Slice 76 of 155.
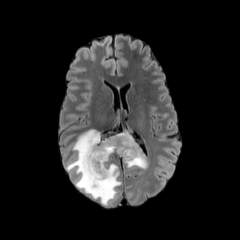
FLAIR magnetic resonance.
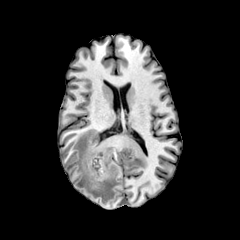
T1-weighted magnetic resonance.
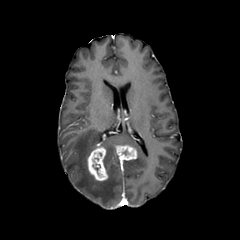
Post-contrast T1-weighted magnetic resonance of the same slice.
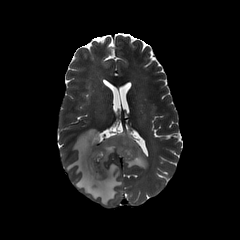
T2-weighted MRI.
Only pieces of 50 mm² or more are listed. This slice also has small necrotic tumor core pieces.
- enhancing tumor: 87,146,108,181; 115,145,137,160
- peritumoral edema: 66,129,147,205